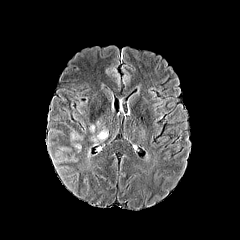
FLAIR MR.
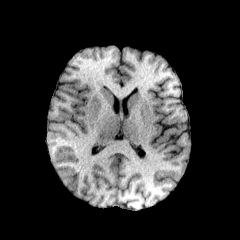
T1-weighted MR image.
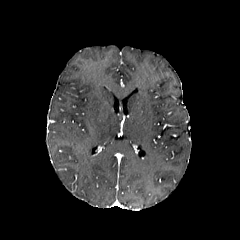
Post-contrast T1-weighted magnetic resonance.
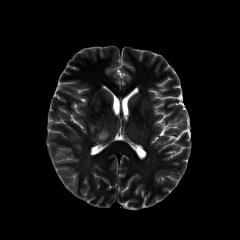
Same slice, T2-weighted MRI.
Head, Image size 240x240
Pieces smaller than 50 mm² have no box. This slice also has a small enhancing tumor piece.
peritumoral edema: bounding box l=92, t=129, r=108, b=141